Image width 240 mm, 1.00 mm slice spacing
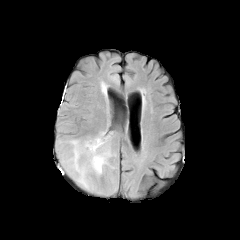
FLAIR magnetic resonance.
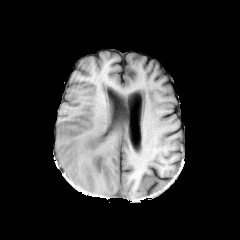
T1-weighted MR.
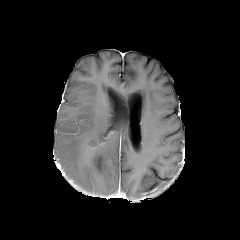
Post-contrast T1-weighted MR image.
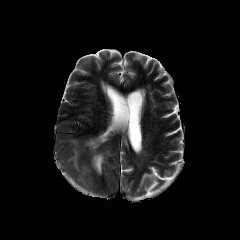
T2-weighted magnetic resonance.
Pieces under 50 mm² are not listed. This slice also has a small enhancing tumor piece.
peritumoral edema: [69, 135, 110, 186]